Brain, Axial slice
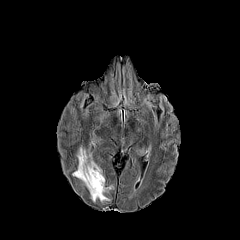
FLAIR MR.
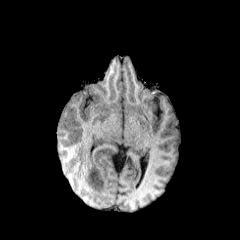
Same slice, T1-weighted MR image.
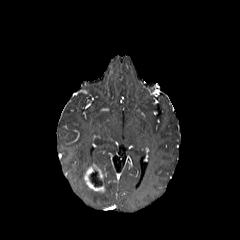
Post-contrast T1-weighted MR image.
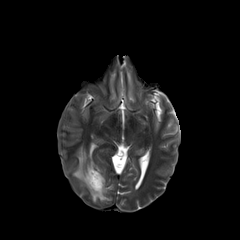
Same slice, T2-weighted MR.
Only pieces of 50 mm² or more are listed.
peritumoral edema: 73:146:94:184, 89:189:109:201
enhancing tumor: 84:164:105:192
necrotic tumor core: 90:170:102:186